FLAIR MR.
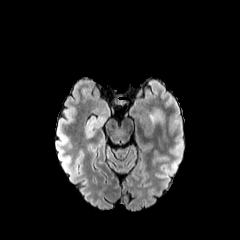
T1-weighted MRI.
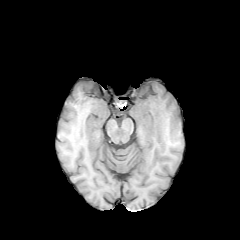
Post-contrast T1-weighted MRI.
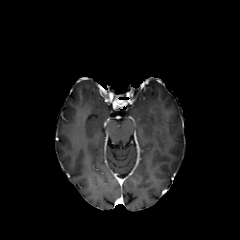
T2-weighted MR.
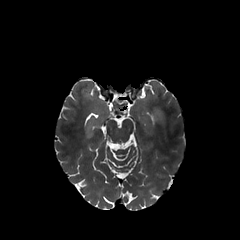
Brain
peritumoral edema = region(149, 110, 163, 124)